FLAIR magnetic resonance.
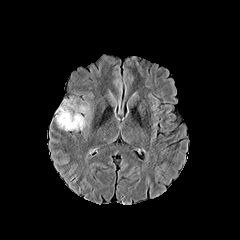
T1-weighted MR image.
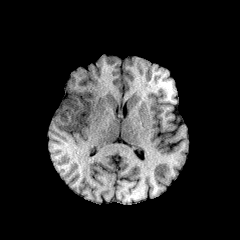
Post-contrast T1-weighted magnetic resonance.
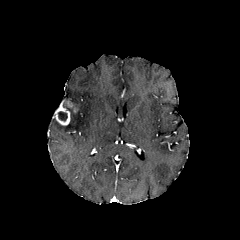
T2-weighted MRI.
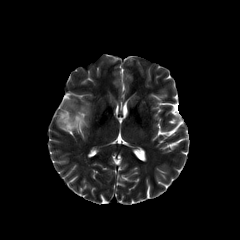
Axial plane
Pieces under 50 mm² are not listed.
Segmented structures:
- necrotic tumor core: (58,111,67,120)
- enhancing tumor: (55,99,78,125)
- peritumoral edema: (57,105,89,130)